Image width 240 mm, 1.00 mm slice spacing; Slice 126 of 155
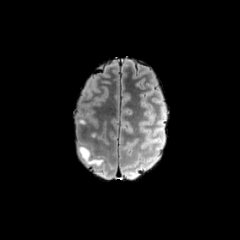
FLAIR MRI.
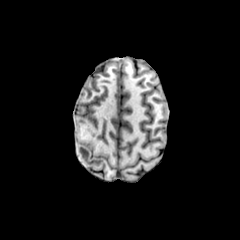
T1-weighted magnetic resonance.
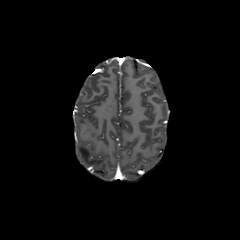
Post-contrast T1-weighted MR image of the same slice.
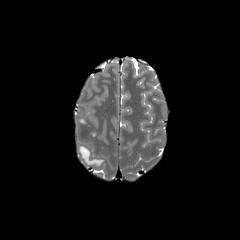
Same slice, T2-weighted magnetic resonance.
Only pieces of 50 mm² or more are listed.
{"peritumoral_edema": ["[x1=78, y1=146, x2=102, y2=165]"]}